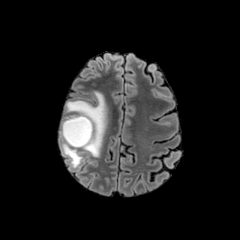
FLAIR MR.
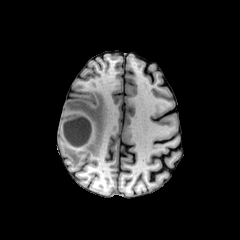
T1-weighted MRI.
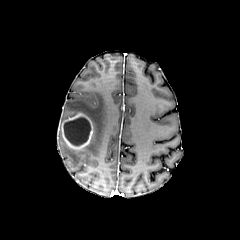
Post-contrast T1-weighted MR of the same slice.
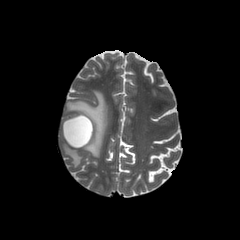
T2-weighted MR image.
Brain
Findings:
* necrotic tumor core: box=[64, 117, 90, 145]
* enhancing tumor: box=[61, 112, 93, 149]
* peritumoral edema: box=[63, 91, 106, 157]; box=[59, 130, 82, 167]